Axial view
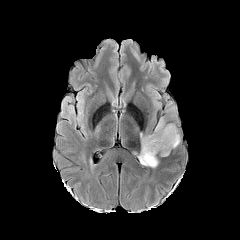
FLAIR MRI.
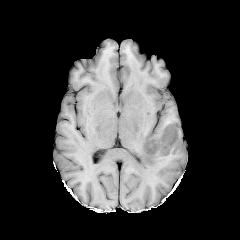
T1-weighted MR image.
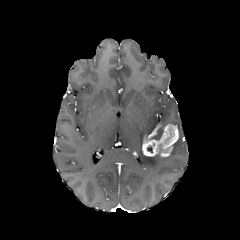
Post-contrast T1-weighted MR image.
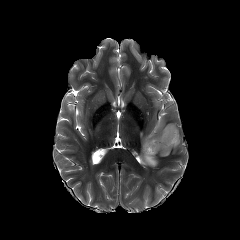
T2-weighted MR.
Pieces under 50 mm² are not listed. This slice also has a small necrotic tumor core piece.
peritumoral edema: (left=139, top=150, right=158, bottom=167), (left=150, top=119, right=165, bottom=139)
enhancing tumor: (left=142, top=124, right=178, bottom=156)